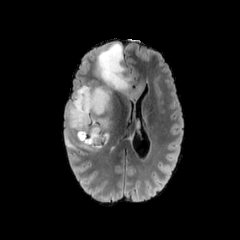
FLAIR MRI.
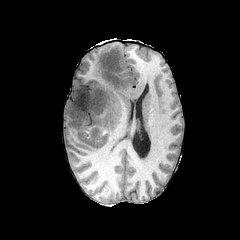
T1-weighted magnetic resonance.
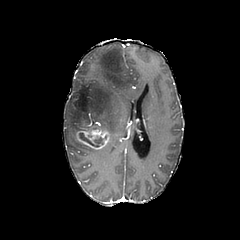
Post-contrast T1-weighted MR.
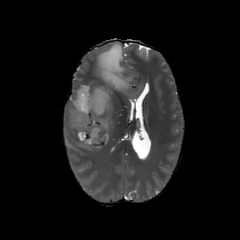
Same slice, T2-weighted MR.
Head | Axial view | 240x240
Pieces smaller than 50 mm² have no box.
necrotic tumor core: bounding box (left=79, top=133, right=102, bottom=147)
peritumoral edema: bounding box (left=134, top=118, right=140, bottom=133), (left=64, top=42, right=146, bottom=152)
enhancing tumor: bounding box (left=76, top=129, right=109, bottom=149)